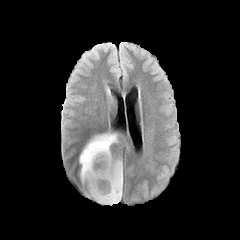
FLAIR MR.
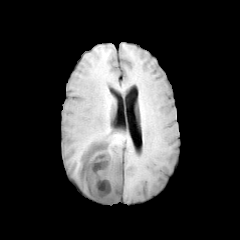
T1-weighted MR image.
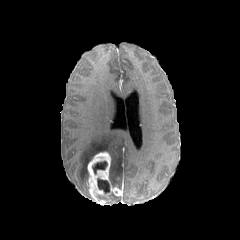
Post-contrast T1-weighted magnetic resonance of the same slice.
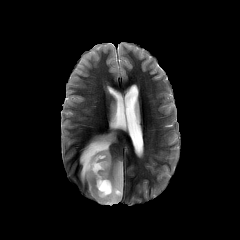
Same slice, T2-weighted MRI.
Axial view | 240x240 px
Segmented structures:
• enhancing tumor: [87, 152, 122, 205]
• necrotic tumor core: [97, 178, 109, 193], [92, 161, 107, 173]
• peritumoral edema: [111, 193, 121, 203], [79, 133, 130, 182], [109, 156, 122, 188]